Head; Axial slice; Slice 99/155
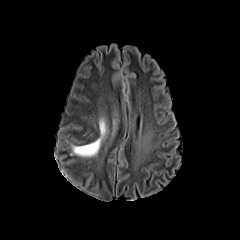
FLAIR MRI.
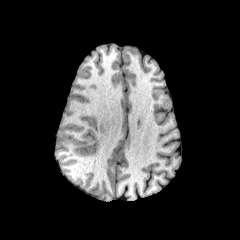
T1-weighted MR image.
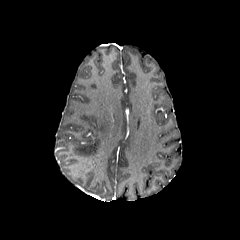
Post-contrast T1-weighted MRI of the same slice.
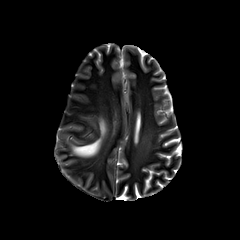
T2-weighted MR image of the same slice.
peritumoral_edema:
  - (73, 138, 101, 156)
  - (100, 120, 105, 136)